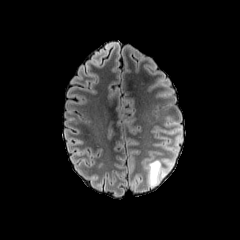
FLAIR MRI.
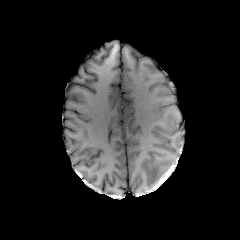
T1-weighted magnetic resonance.
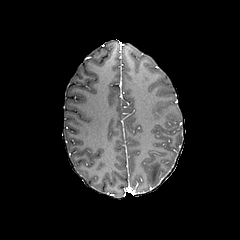
Same slice, post-contrast T1-weighted MRI.
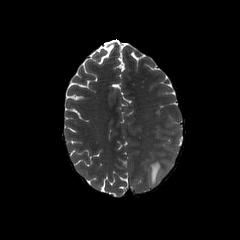
Same slice, T2-weighted MR image.
Brain; Axial plane; Image size 240x240
Segmented structures:
- peritumoral edema: box(145, 158, 171, 187)